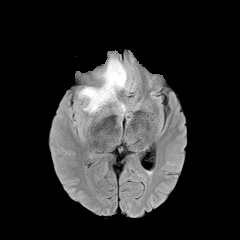
FLAIR MR image.
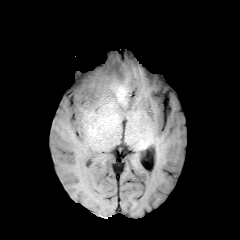
T1-weighted MR image.
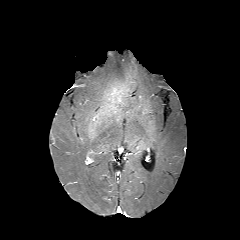
Post-contrast T1-weighted magnetic resonance.
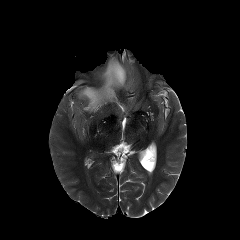
T2-weighted MR image of the same slice.
Axial view. 240x240. Brain.
Findings:
• peritumoral edema: [78,58,130,116]